Image size 240x240
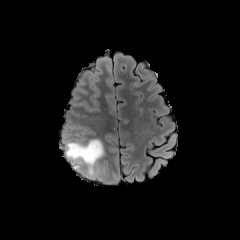
FLAIR MRI.
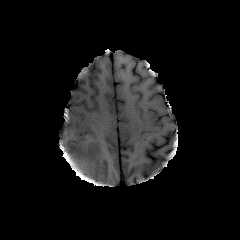
T1-weighted magnetic resonance.
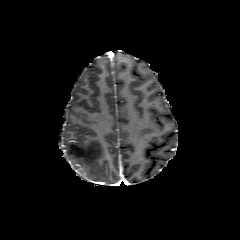
Post-contrast T1-weighted MR image.
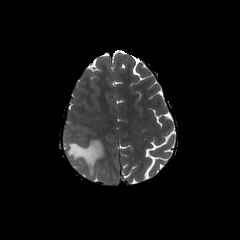
Same slice, T2-weighted MR image.
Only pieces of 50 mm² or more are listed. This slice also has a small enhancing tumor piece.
The peritumoral edema is bounded by 66, 139, 103, 178.